Brain | Axial view
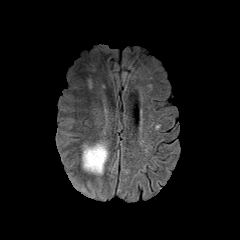
FLAIR magnetic resonance.
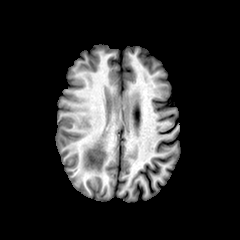
T1-weighted MR.
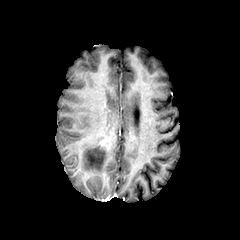
Post-contrast T1-weighted MR image of the same slice.
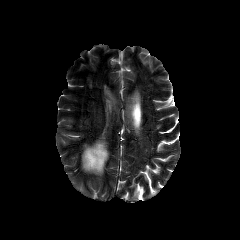
T2-weighted MR image.
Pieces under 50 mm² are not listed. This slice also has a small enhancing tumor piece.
<segmentation>
  <peritumoral_edema>region(82, 141, 108, 175)</peritumoral_edema>
</segmentation>